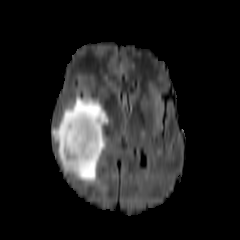
FLAIR magnetic resonance.
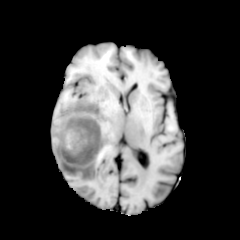
Same slice, T1-weighted MR.
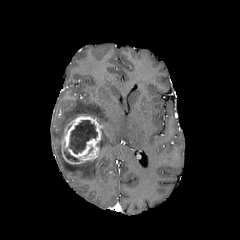
Post-contrast T1-weighted magnetic resonance.
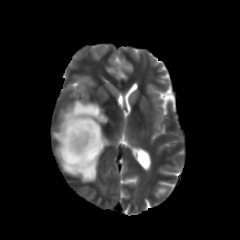
T2-weighted magnetic resonance.
Brain. Axial view.
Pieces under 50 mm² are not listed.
The 2 largest necrotic tumor core regions are located at [64,150,79,161], [68,120,97,154]. The peritumoral edema lies within [51,95,109,182]. The enhancing tumor is at [60,114,101,164].